Slice 65 of 155; Axial plane
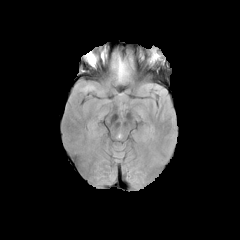
FLAIR MR image.
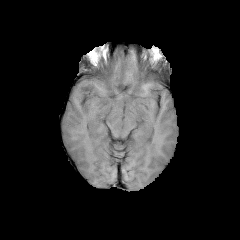
T1-weighted MR image.
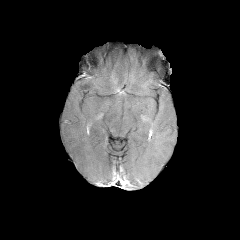
Post-contrast T1-weighted MRI.
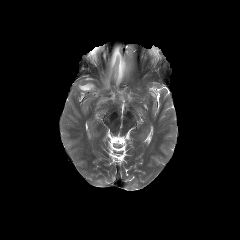
T2-weighted magnetic resonance.
peritumoral edema: bbox=[111, 51, 129, 83]; bbox=[81, 83, 94, 90]